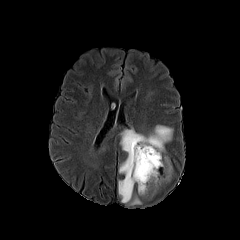
FLAIR MRI.
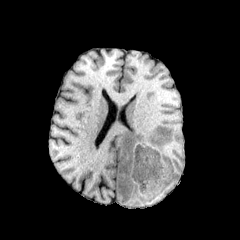
T1-weighted MRI.
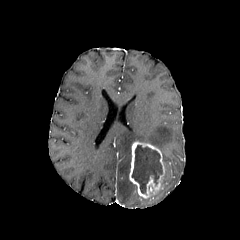
Post-contrast T1-weighted MR image.
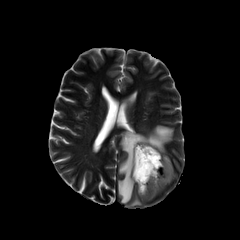
T2-weighted MRI.
necrotic tumor core: [x1=132, y1=145, x2=162, y2=193]
enhancing tumor: [x1=129, y1=141, x2=165, y2=198]
peritumoral edema: [x1=118, y1=125, x2=173, y2=203], [x1=161, y1=156, x2=172, y2=188], [x1=130, y1=196, x2=141, y2=205]